Axial slice; Slice 80/155; Head
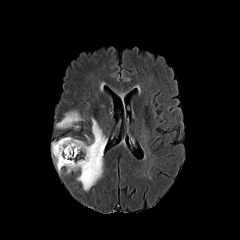
FLAIR MRI.
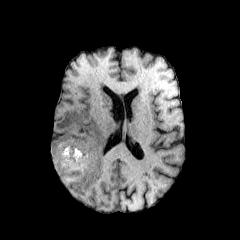
Same slice, T1-weighted magnetic resonance.
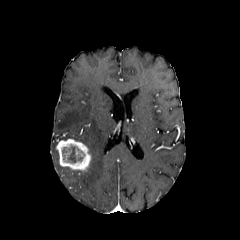
Post-contrast T1-weighted MRI.
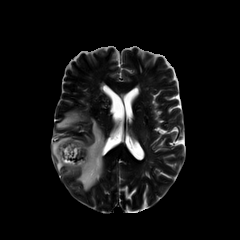
T2-weighted magnetic resonance.
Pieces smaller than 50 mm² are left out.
necrotic_tumor_core:
  - [62, 147, 82, 162]
enhancing_tumor:
  - [56, 138, 91, 171]
peritumoral_edema:
  - [56, 111, 84, 128]
  - [52, 142, 61, 172]
  - [77, 118, 107, 190]